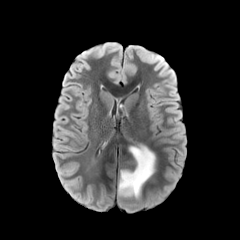
FLAIR magnetic resonance.
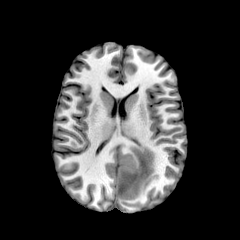
T1-weighted MRI of the same slice.
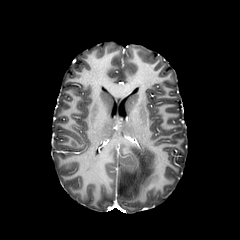
Post-contrast T1-weighted MRI.
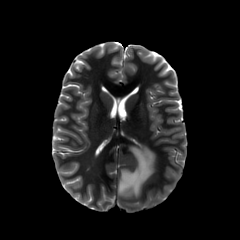
Same slice, T2-weighted magnetic resonance.
240x240 px, Brain
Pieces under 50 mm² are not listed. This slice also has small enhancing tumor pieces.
<segmentation>
  <peritumoral_edema>rect(118, 145, 155, 198)</peritumoral_edema>
  <necrotic_tumor_core>rect(121, 151, 139, 171)</necrotic_tumor_core>
</segmentation>